240x240 px | Brain | Axial view
FLAIR MR image.
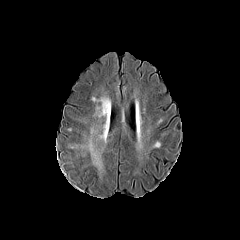
T1-weighted MRI.
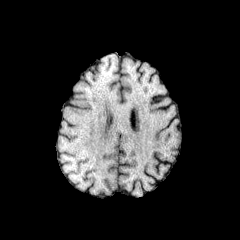
Post-contrast T1-weighted MR image.
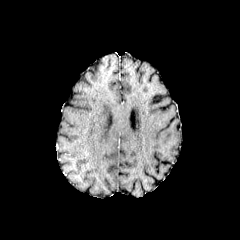
T2-weighted MR image.
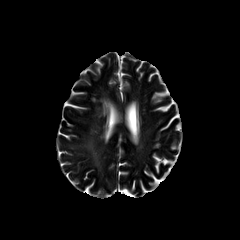
{"peritumoral_edema": ["<box>92,97,108,117</box>", "<box>88,141,101,168</box>"]}